Head | Axial slice
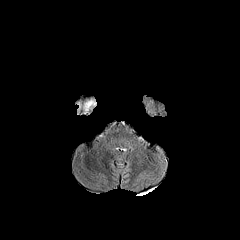
FLAIR MR.
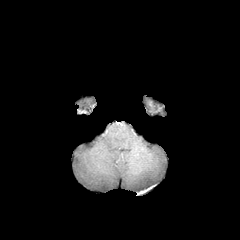
T1-weighted MR.
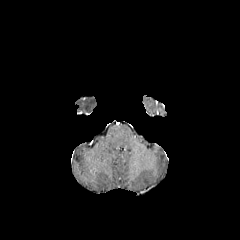
Same slice, post-contrast T1-weighted MR image.
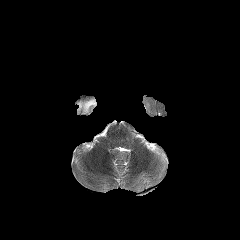
T2-weighted MRI of the same slice.
{"peritumoral_edema": ["78:99:96:112"]}